FLAIR MR.
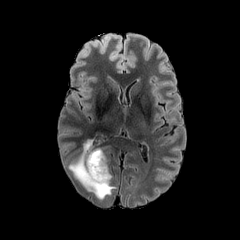
T1-weighted MRI.
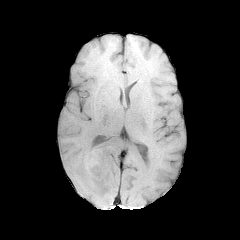
Post-contrast T1-weighted MR image.
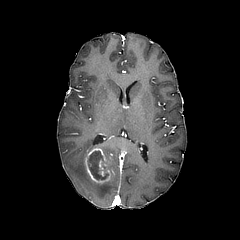
T2-weighted MR.
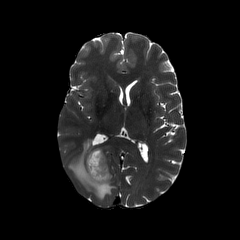
Head; Axial view
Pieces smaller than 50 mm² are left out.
The 2 largest peritumoral edema regions appear at 68, 139, 115, 199; 98, 145, 109, 157. The enhancing tumor is bounded by 84, 147, 110, 185. The necrotic tumor core appears at 88, 150, 107, 179.